Slice index 61 | Brain | Axial view | 240x240 px
FLAIR MR.
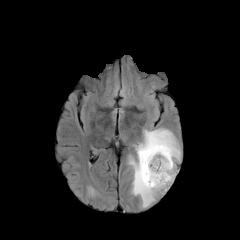
T1-weighted MR image.
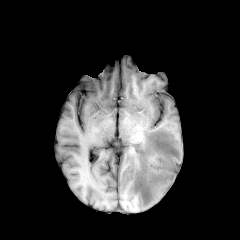
Post-contrast T1-weighted MRI.
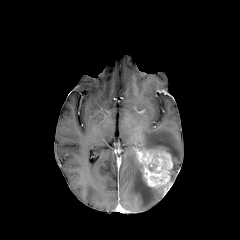
T2-weighted MRI.
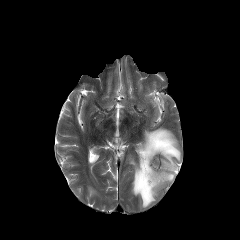
{
  "enhancing_tumor": [
    "x1=136 y1=147 x2=173 y2=192"
  ],
  "peritumoral_edema": [
    "x1=135 y1=128 x2=181 y2=183",
    "x1=128 y1=156 x2=165 y2=209"
  ]
}